FLAIR MRI.
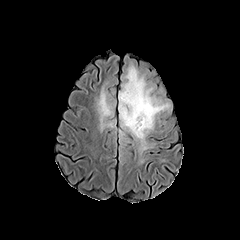
T1-weighted MR image.
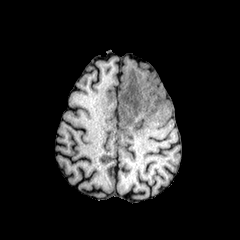
Post-contrast T1-weighted MR.
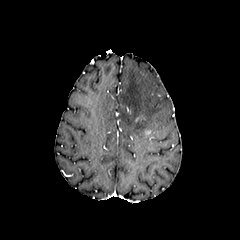
T2-weighted magnetic resonance.
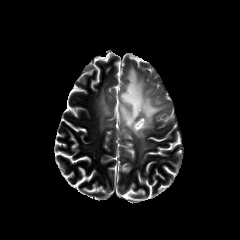
Axial view
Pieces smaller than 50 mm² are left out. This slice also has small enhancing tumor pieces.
peritumoral_edema:
  - (118,65,168,149)
  - (97,88,112,129)
necrotic_tumor_core:
  - (127,91,135,114)